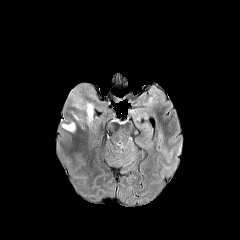
FLAIR MR image.
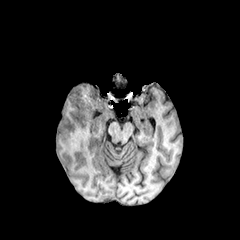
T1-weighted MRI of the same slice.
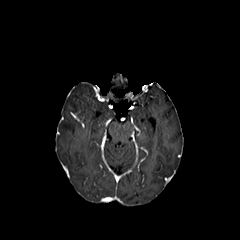
Same slice, post-contrast T1-weighted magnetic resonance.
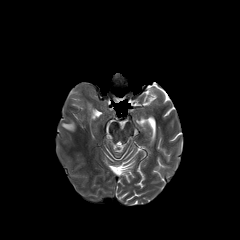
Same slice, T2-weighted MRI.
Brain
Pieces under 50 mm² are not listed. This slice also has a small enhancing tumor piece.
Annotated regions:
* peritumoral edema: box=[62, 122, 75, 131]; box=[72, 91, 95, 122]